Slice 63 of 155. Image covers 240 mm x 240 mm. Image size 240x240. Axial slice. Head.
FLAIR MRI.
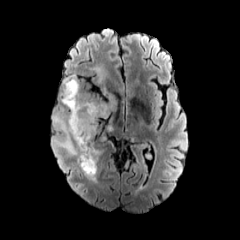
T1-weighted magnetic resonance.
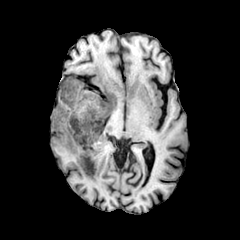
Post-contrast T1-weighted MR image.
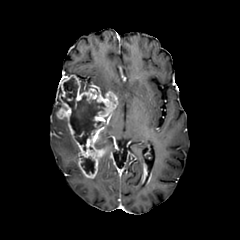
T2-weighted magnetic resonance.
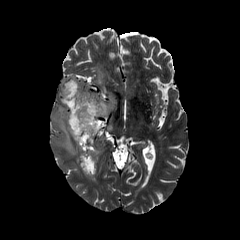
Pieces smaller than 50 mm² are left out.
{
  "necrotic_tumor_core": [
    "region(80, 156, 94, 173)",
    "region(61, 78, 104, 150)"
  ],
  "peritumoral_edema": [
    "region(52, 113, 79, 155)",
    "region(92, 66, 104, 84)"
  ],
  "enhancing_tumor": [
    "region(56, 74, 117, 178)",
    "region(142, 163, 151, 184)"
  ]
}